FLAIR MR.
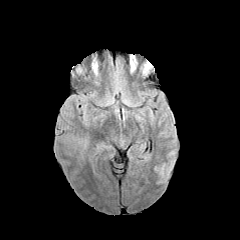
T1-weighted magnetic resonance.
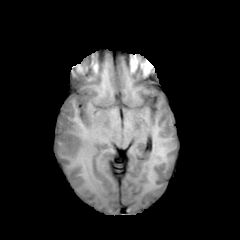
Post-contrast T1-weighted MR.
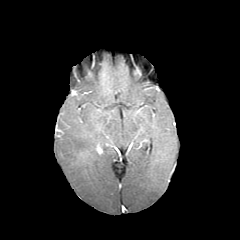
T2-weighted magnetic resonance.
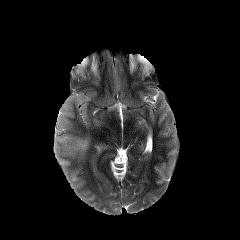
Axial slice. Head.
<segmentation>
  <peritumoral_edema>bbox(77, 139, 87, 149)</peritumoral_edema>
</segmentation>